FLAIR MRI.
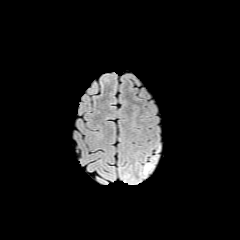
T1-weighted MR image.
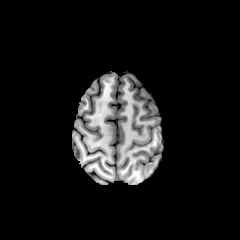
Post-contrast T1-weighted MR image.
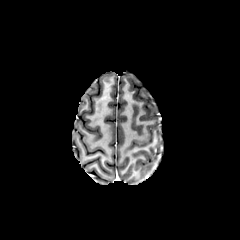
T2-weighted MR image.
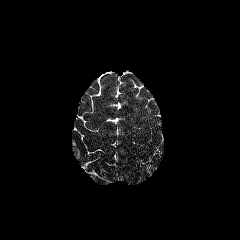
240x240 | Axial view
peritumoral_edema:
  - 144, 164, 152, 173